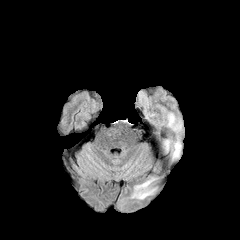
FLAIR MR.
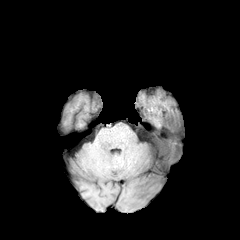
Same slice, T1-weighted MR.
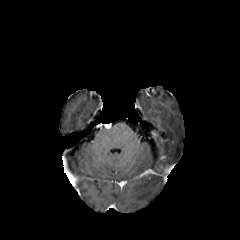
Post-contrast T1-weighted MR image.
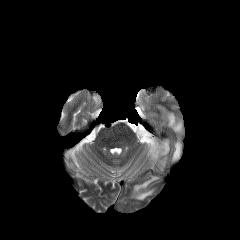
T2-weighted MRI.
Axial plane; Brain; Image size 240x240
<segmentation>
  <peritumoral_edema>172 141 181 159, 167 113 182 132, 131 177 156 199, 164 140 169 151</peritumoral_edema>
</segmentation>